Image width 240 mm, 1.00 mm slice spacing | Slice 43 of 155
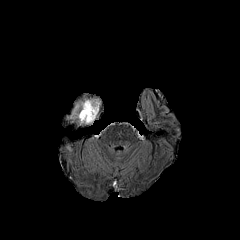
FLAIR magnetic resonance.
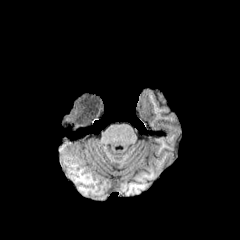
Same slice, T1-weighted MRI.
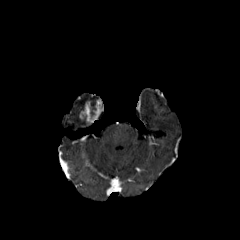
Post-contrast T1-weighted MR image.
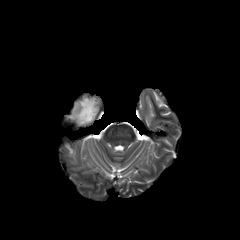
T2-weighted MR image.
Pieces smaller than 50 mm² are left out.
The enhancing tumor is bounded by rect(79, 99, 102, 124). The largest peritumoral edema region is located at rect(68, 98, 96, 124).